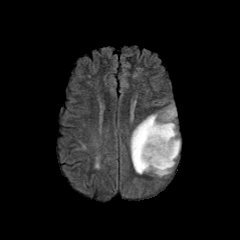
FLAIR MR image.
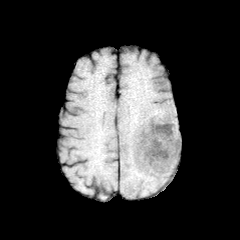
T1-weighted MR image of the same slice.
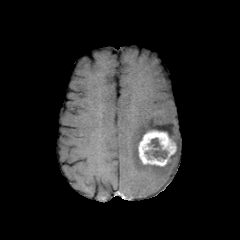
Post-contrast T1-weighted MRI.
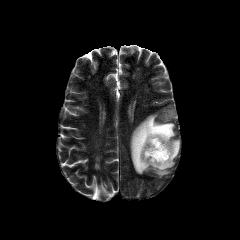
T2-weighted MR image.
Head; 240x240 px
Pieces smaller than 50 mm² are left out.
Annotated regions:
- enhancing tumor: [138, 129, 177, 166]
- necrotic tumor core: [150, 138, 166, 158]
- peritumoral edema: [130, 107, 180, 176]